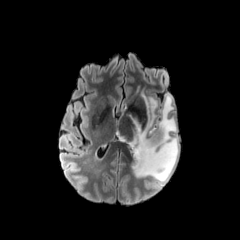
FLAIR MRI.
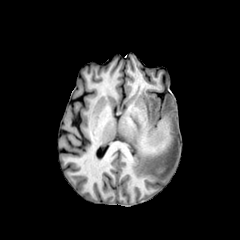
T1-weighted MR image.
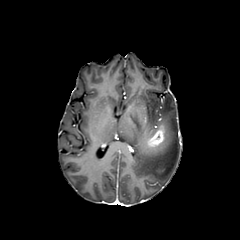
Post-contrast T1-weighted MR image.
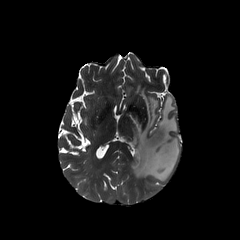
T2-weighted MR of the same slice.
Head; Image size 240x240; Axial slice
The enhancing tumor lies within (x1=144, y1=124, x2=165, y2=148). The peritumoral edema appears at (x1=119, y1=93, x2=179, y2=185).